Brain, Axial slice, Image covers 240 mm x 240 mm
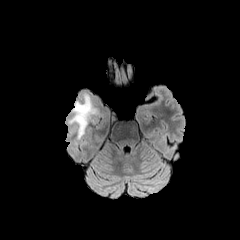
FLAIR magnetic resonance.
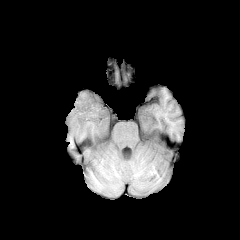
T1-weighted MRI of the same slice.
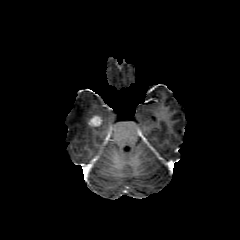
Post-contrast T1-weighted magnetic resonance.
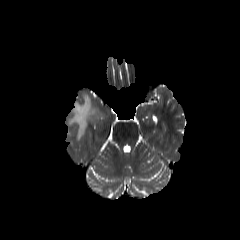
T2-weighted MR of the same slice.
Findings:
- peritumoral edema: [68,94,99,140]
- enhancing tumor: [88,115,102,126]